240x240 px.
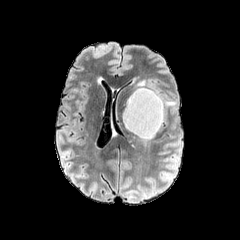
FLAIR MRI.
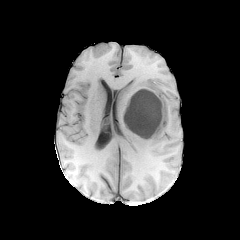
Same slice, T1-weighted magnetic resonance.
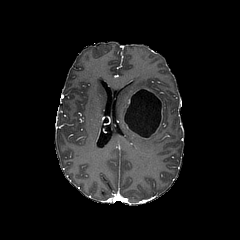
Post-contrast T1-weighted MRI of the same slice.
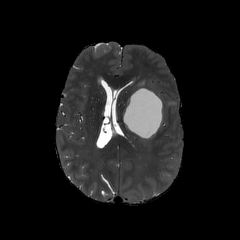
T2-weighted MRI of the same slice.
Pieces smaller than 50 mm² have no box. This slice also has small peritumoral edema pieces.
{
  "necrotic_tumor_core": [
    "[x1=124, y1=89, x2=161, y2=137]"
  ],
  "enhancing_tumor": [
    "[x1=132, y1=88, x2=163, y2=139]"
  ]
}